FLAIR magnetic resonance.
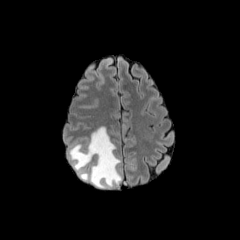
T1-weighted magnetic resonance.
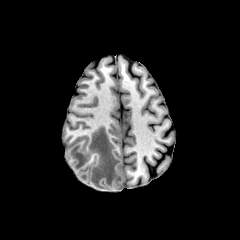
Post-contrast T1-weighted magnetic resonance.
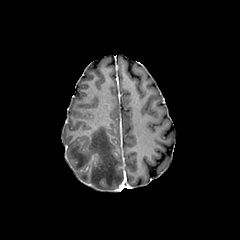
T2-weighted MR image.
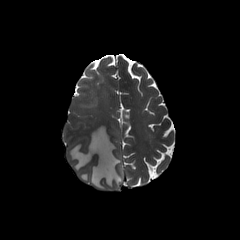
peritumoral edema: bounding box (68, 126, 121, 188)